Brain, Slice index 117
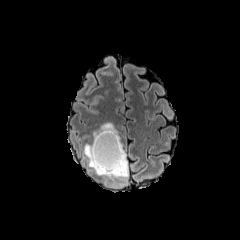
FLAIR MR.
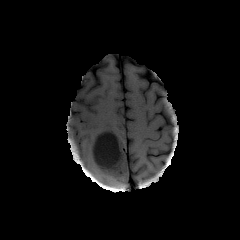
T1-weighted MR.
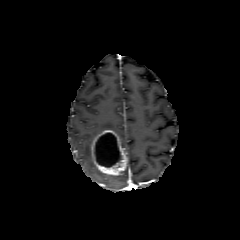
Post-contrast T1-weighted MRI of the same slice.
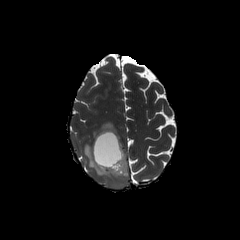
T2-weighted MR.
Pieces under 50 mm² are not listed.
The necrotic tumor core is at (95, 133, 120, 167). The 2 largest peritumoral edema regions are bounded by (83, 143, 128, 179), (93, 122, 119, 138). The enhancing tumor appears at (91, 129, 127, 176).